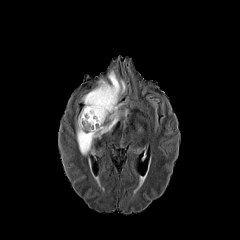
FLAIR MR image.
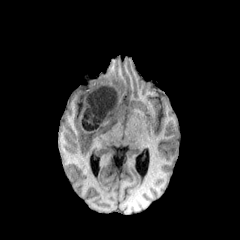
T1-weighted magnetic resonance.
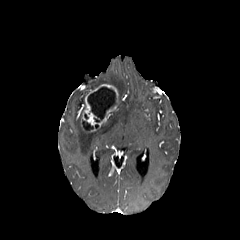
Post-contrast T1-weighted MR.
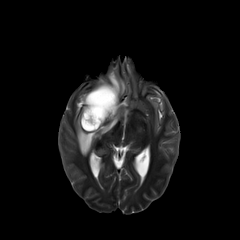
T2-weighted magnetic resonance of the same slice.
240x240
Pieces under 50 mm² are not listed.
Findings:
• enhancing tumor: <bbox>82, 84, 118, 131</bbox>
• peritumoral edema: <bbox>76, 102, 128, 155</bbox>, <bbox>108, 70, 126, 99</bbox>
• necrotic tumor core: <bbox>82, 120, 93, 130</bbox>, <bbox>87, 87, 116, 122</bbox>